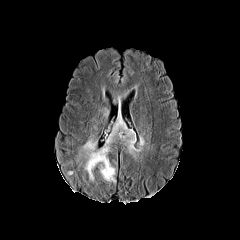
FLAIR MRI.
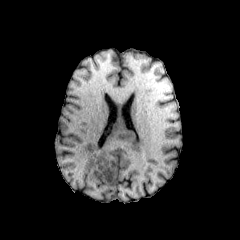
Same slice, T1-weighted magnetic resonance.
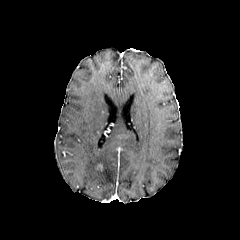
Post-contrast T1-weighted MRI.
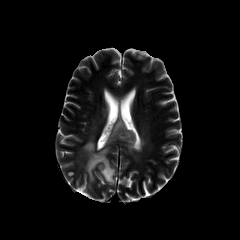
T2-weighted MR of the same slice.
Axial plane
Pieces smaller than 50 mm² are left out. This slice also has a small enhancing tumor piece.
The largest peritumoral edema region is bounded by 78:119:144:182.